Head; Axial slice
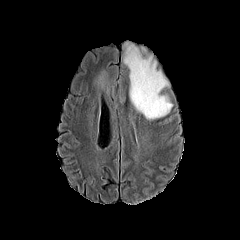
FLAIR MR image.
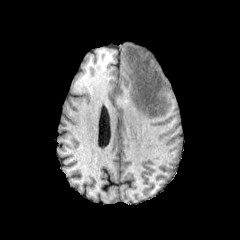
T1-weighted MRI.
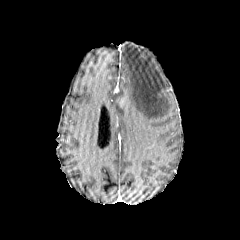
Post-contrast T1-weighted magnetic resonance.
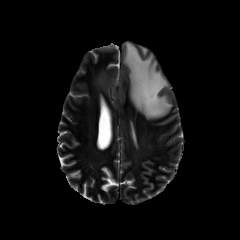
T2-weighted MRI of the same slice.
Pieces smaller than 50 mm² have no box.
The 3 largest peritumoral edema regions appear at l=94, t=67, r=109, b=91; l=118, t=90, r=125, b=103; l=122, t=40, r=172, b=119.